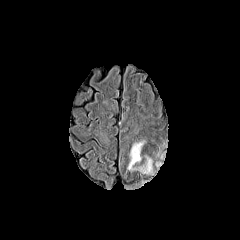
FLAIR MR image.
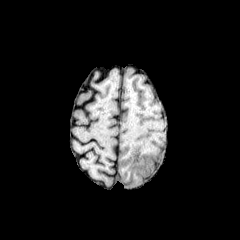
Same slice, T1-weighted MR.
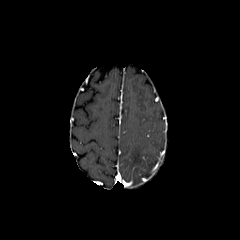
Same slice, post-contrast T1-weighted magnetic resonance.
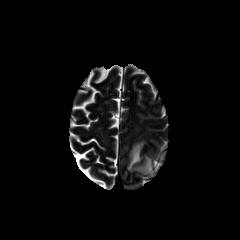
T2-weighted magnetic resonance.
• peritumoral edema: x1=138, y1=158, x2=151, y2=172; x1=128, y1=142, x2=143, y2=170